Brain | Image size 240x240
FLAIR MR image.
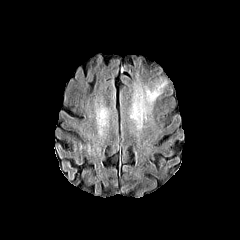
T1-weighted MRI.
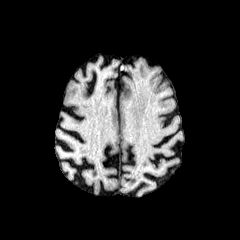
Post-contrast T1-weighted MR image.
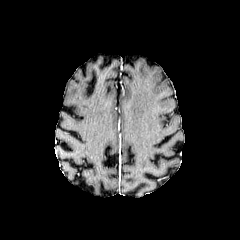
T2-weighted MR image.
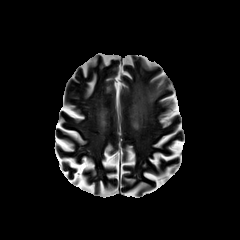
The peritumoral edema is located at x1=132, y1=82, x2=165, y2=119.